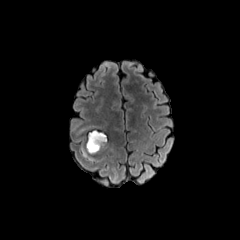
FLAIR magnetic resonance.
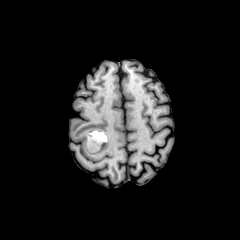
T1-weighted MR of the same slice.
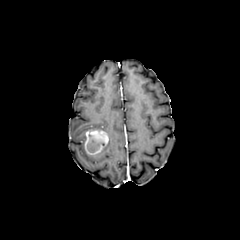
Post-contrast T1-weighted MRI.
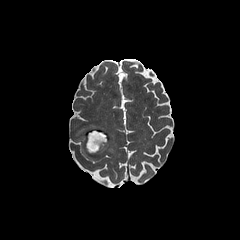
T2-weighted MR.
240x240 px
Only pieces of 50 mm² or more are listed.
The largest necrotic tumor core region is located at [88, 140, 99, 151]. The largest peritumoral edema region appears at [82, 148, 91, 160]. The enhancing tumor is at [85, 130, 107, 154].